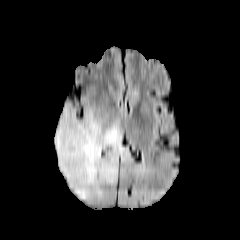
FLAIR magnetic resonance.
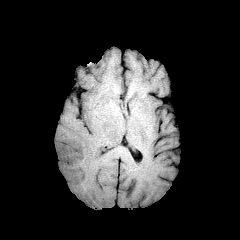
T1-weighted MRI.
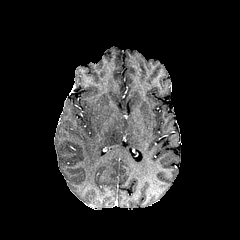
Post-contrast T1-weighted magnetic resonance.
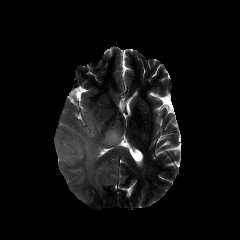
T2-weighted MR image.
Head. Image size 240x240.
The peritumoral edema is bounded by bbox=[54, 105, 128, 200].